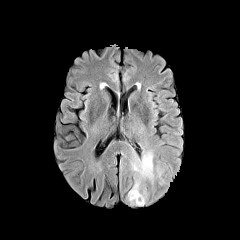
FLAIR MR.
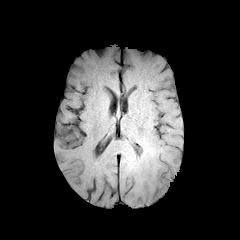
T1-weighted MRI.
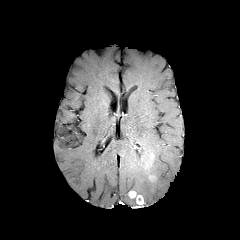
Post-contrast T1-weighted MR image.
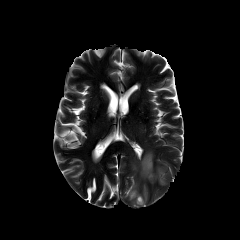
Same slice, T2-weighted MR.
Head, 240x240 px
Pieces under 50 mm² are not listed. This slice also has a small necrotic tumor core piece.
Findings:
- enhancing tumor: rect(128, 191, 143, 204)
- peritumoral edema: rect(157, 168, 164, 183); rect(130, 183, 141, 194); rect(128, 195, 142, 205); rect(133, 152, 155, 181)